Axial view
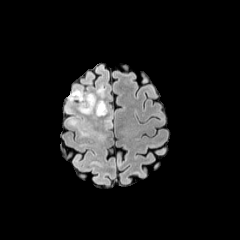
FLAIR MR.
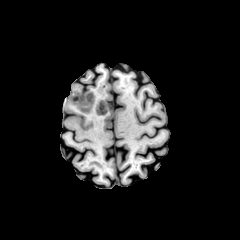
Same slice, T1-weighted MR image.
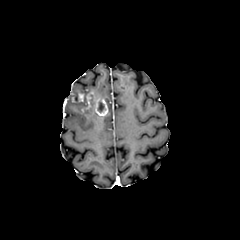
Post-contrast T1-weighted magnetic resonance.
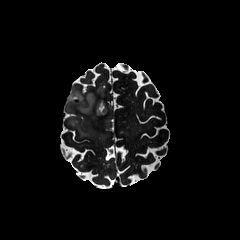
T2-weighted MRI.
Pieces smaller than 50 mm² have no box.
Annotated regions:
- enhancing tumor: left=70, top=91, right=108, bottom=116
- peritumoral edema: left=69, top=118, right=105, bottom=143; left=105, top=104, right=112, bottom=129; left=96, top=86, right=104, bottom=98; left=67, top=94, right=94, bottom=114
- necrotic tumor core: left=98, top=101, right=104, bottom=112